Image covers 240 mm x 240 mm | Brain | Slice 45/155 | Axial view
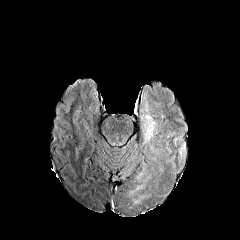
FLAIR MR.
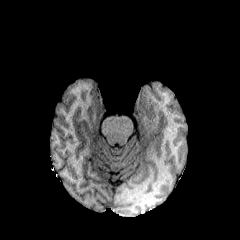
T1-weighted magnetic resonance.
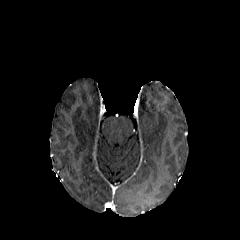
Post-contrast T1-weighted MRI of the same slice.
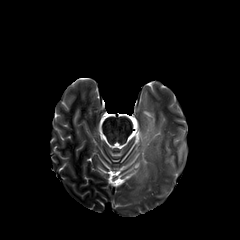
T2-weighted MRI of the same slice.
peritumoral edema: (145, 116, 154, 140)